Head
FLAIR MR image.
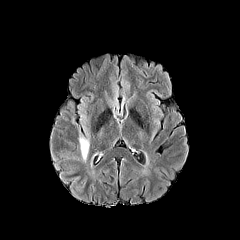
T1-weighted magnetic resonance.
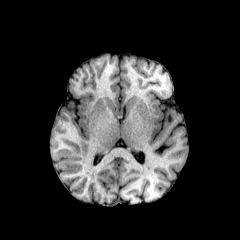
Post-contrast T1-weighted magnetic resonance.
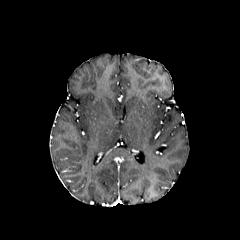
T2-weighted MR image.
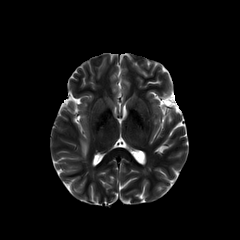
peritumoral edema = 79 137 89 161